Brain | Axial plane
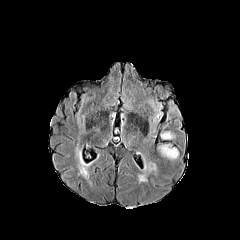
FLAIR MR image.
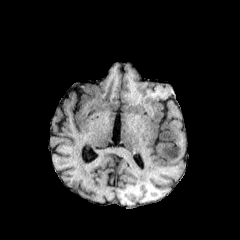
T1-weighted MR of the same slice.
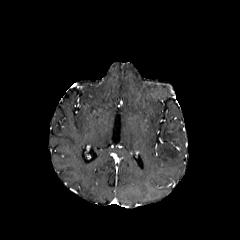
Same slice, post-contrast T1-weighted MR.
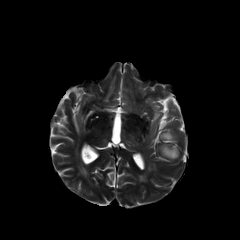
T2-weighted MRI of the same slice.
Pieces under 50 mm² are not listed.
peritumoral edema: <box>161,132,174,138</box>, <box>160,145,178,159</box>, <box>151,104,160,135</box>